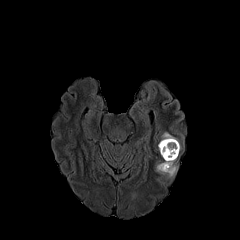
FLAIR MR.
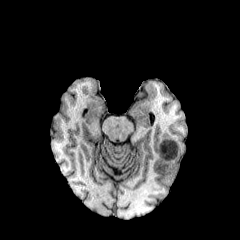
T1-weighted MR image.
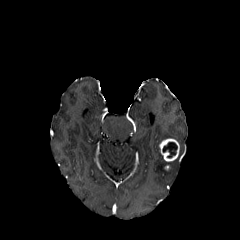
Post-contrast T1-weighted magnetic resonance of the same slice.
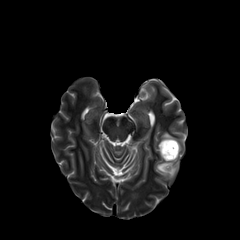
T2-weighted MRI.
240x240 | Axial slice
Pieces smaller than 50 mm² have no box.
{"enhancing_tumor": ["box=[159, 138, 179, 161]"], "peritumoral_edema": ["box=[156, 159, 178, 179]", "box=[160, 132, 179, 142]"], "necrotic_tumor_core": ["box=[163, 142, 177, 158]"]}